Axial plane
FLAIR MRI.
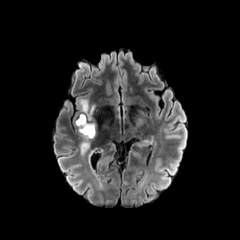
T1-weighted MRI.
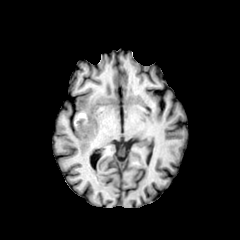
Post-contrast T1-weighted MRI.
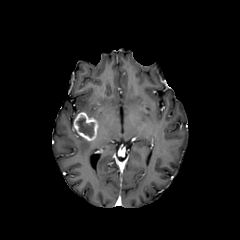
T2-weighted MR image.
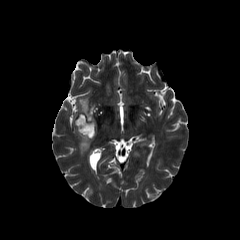
{
  "enhancing_tumor": [
    "left=74, top=112, right=98, bottom=141"
  ],
  "peritumoral_edema": [
    "left=80, top=137, right=90, bottom=153",
    "left=79, top=99, right=95, bottom=116"
  ],
  "necrotic_tumor_core": [
    "left=77, top=117, right=93, bottom=137"
  ]
}